FLAIR MRI.
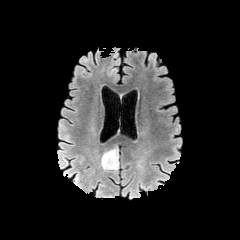
T1-weighted MR.
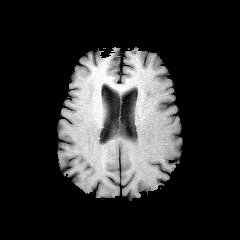
Post-contrast T1-weighted MR image.
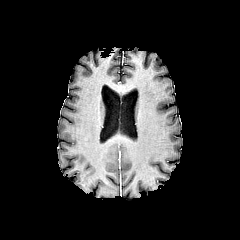
T2-weighted MRI.
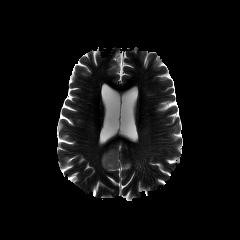
Head, Axial plane
Findings:
• peritumoral edema: (101, 147, 118, 171)